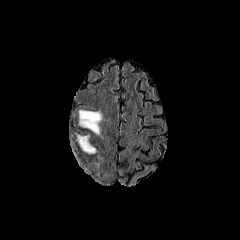
FLAIR MR.
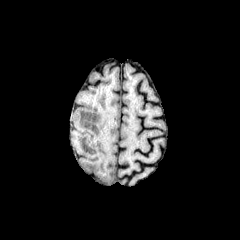
T1-weighted MR.
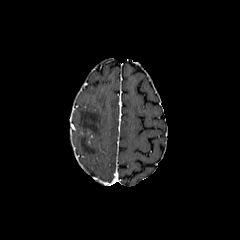
Post-contrast T1-weighted MR image.
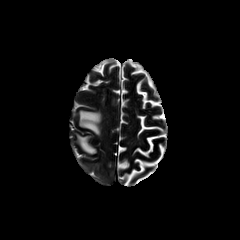
Same slice, T2-weighted MR.
Head
2 peritumoral edema regions appear at 77, 135, 96, 153; 79, 110, 102, 135.